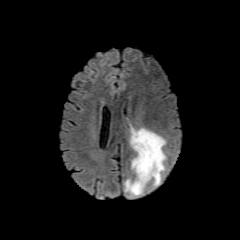
FLAIR magnetic resonance.
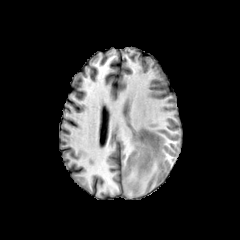
T1-weighted MR.
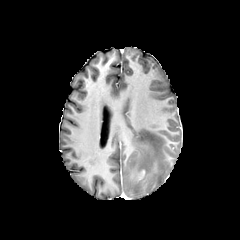
Post-contrast T1-weighted MR image.
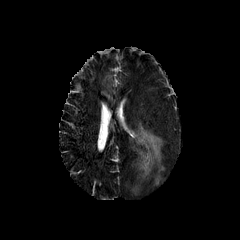
T2-weighted MR image.
Head.
The peritumoral edema appears at (left=124, top=127, right=166, bottom=195). The enhancing tumor is located at (left=138, top=169, right=145, bottom=179).